Slice index 106
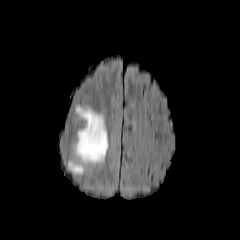
FLAIR MR.
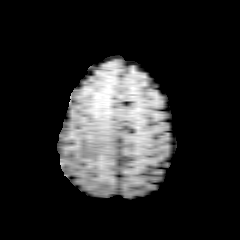
T1-weighted magnetic resonance.
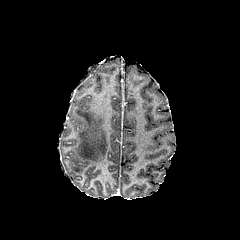
Post-contrast T1-weighted MRI.
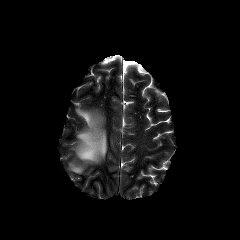
T2-weighted MR image.
peritumoral edema at 74, 107, 107, 163; 69, 162, 83, 173